Head. Slice 97 of 155. Image size 240x240.
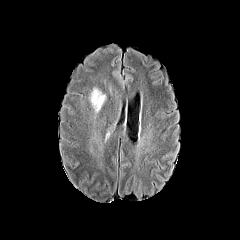
FLAIR magnetic resonance.
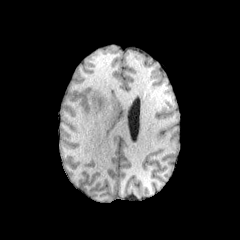
Same slice, T1-weighted MRI.
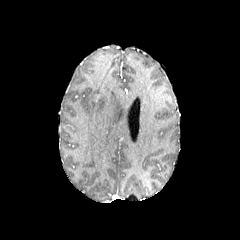
Same slice, post-contrast T1-weighted MR image.
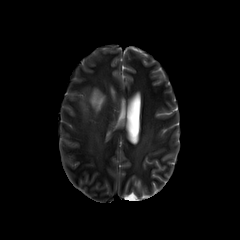
T2-weighted MRI of the same slice.
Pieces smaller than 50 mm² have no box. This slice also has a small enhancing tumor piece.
The peritumoral edema lies within [x1=90, y1=88, x2=105, y2=112].